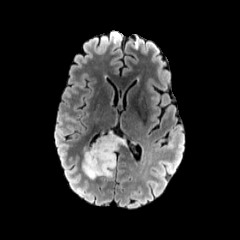
FLAIR magnetic resonance.
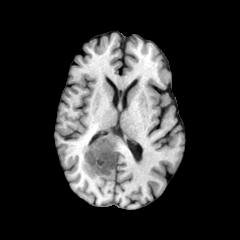
T1-weighted MRI of the same slice.
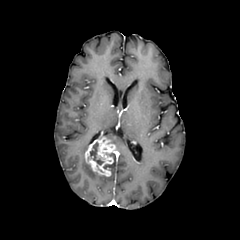
Same slice, post-contrast T1-weighted magnetic resonance.
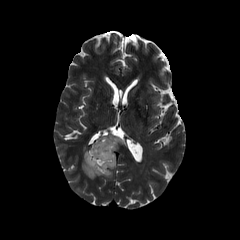
Same slice, T2-weighted MRI.
Axial slice. Image size 240x240.
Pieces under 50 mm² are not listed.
peritumoral edema at 82,152,99,178; 107,134,122,149; 107,156,116,177
necrotic tumor core at 90,142,103,164
enhancing tumor at 85,136,117,176